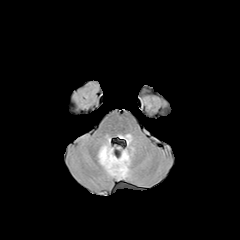
FLAIR magnetic resonance.
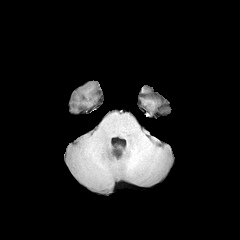
T1-weighted MRI.
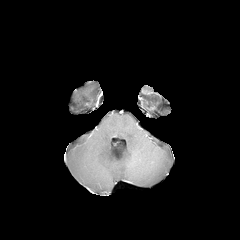
Post-contrast T1-weighted MR image.
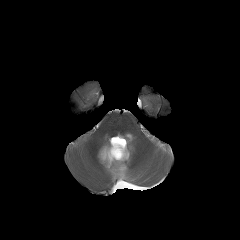
T2-weighted magnetic resonance.
Head
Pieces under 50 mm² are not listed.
The 2 largest peritumoral edema regions are located at [98,138,130,179], [119,134,131,143].